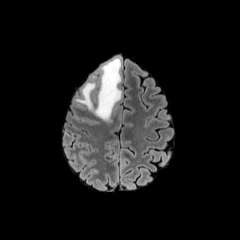
FLAIR MRI.
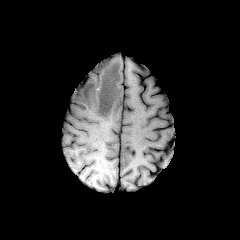
T1-weighted MR image.
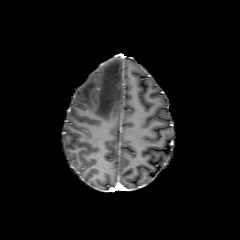
Post-contrast T1-weighted magnetic resonance of the same slice.
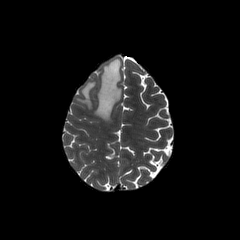
T2-weighted magnetic resonance.
Head, Axial slice
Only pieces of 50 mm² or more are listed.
peritumoral_edema:
  - bbox=[75, 57, 121, 121]